240x240, Axial plane, Slice 83 of 155
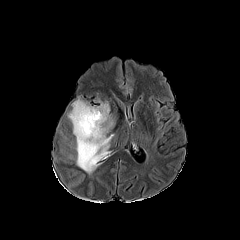
FLAIR MR image.
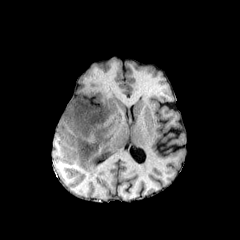
T1-weighted MR.
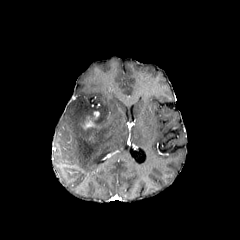
Same slice, post-contrast T1-weighted magnetic resonance.
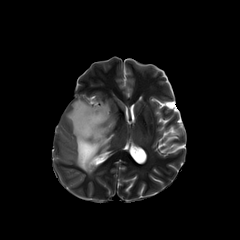
T2-weighted MRI.
enhancing_tumor:
  - x1=79, y1=111, x2=101, y2=129
peritumoral_edema:
  - x1=67, y1=98, x2=114, y2=173